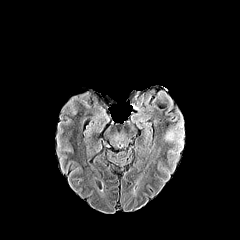
FLAIR magnetic resonance.
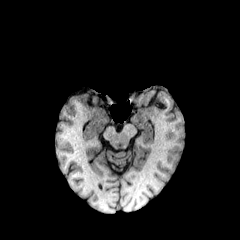
T1-weighted MR.
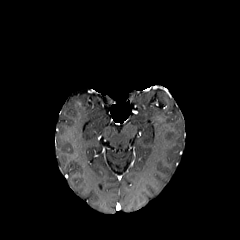
Post-contrast T1-weighted MR of the same slice.
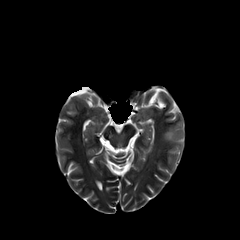
T2-weighted MRI.
Head, 240x240
• peritumoral edema: [164,119,183,151]